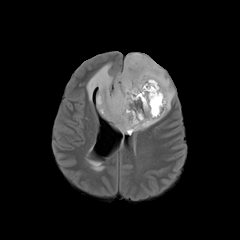
FLAIR MRI.
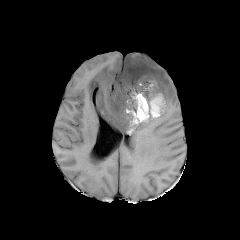
T1-weighted MRI.
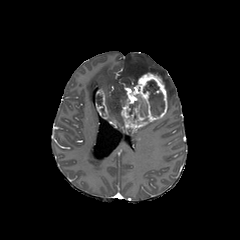
Same slice, post-contrast T1-weighted MR image.
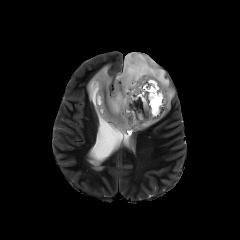
T2-weighted MR.
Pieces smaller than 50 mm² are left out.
- enhancing tumor: (96, 72, 167, 133)
- necrotic tumor core: (129, 96, 147, 116), (143, 80, 164, 116)
- peritumoral edema: (86, 53, 175, 122), (137, 119, 160, 130)